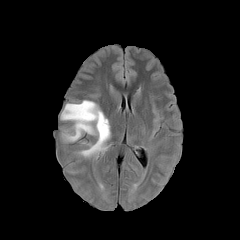
FLAIR MRI.
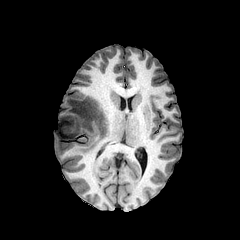
T1-weighted magnetic resonance.
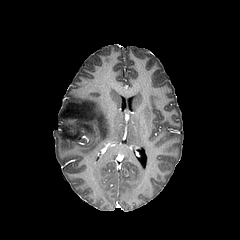
Same slice, post-contrast T1-weighted MR image.
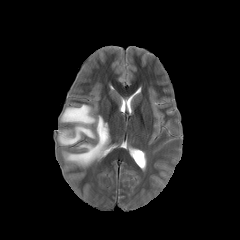
T2-weighted MR.
Axial plane.
peritumoral edema: bbox(60, 100, 110, 159)